Axial slice. Brain. Slice 55 of 155.
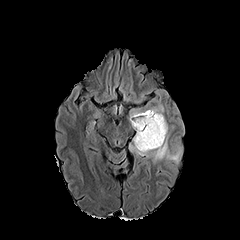
FLAIR magnetic resonance.
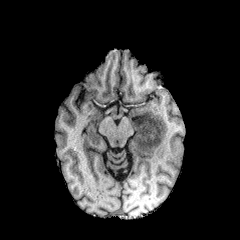
Same slice, T1-weighted MRI.
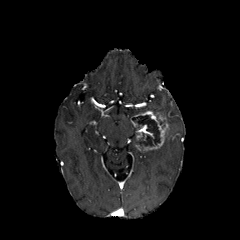
Post-contrast T1-weighted MR.
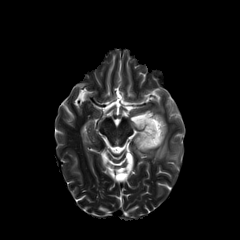
T2-weighted MR.
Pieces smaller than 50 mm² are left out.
Segmented structures:
* necrotic tumor core: l=132, t=115, r=160, b=149
* peritumoral edema: l=131, t=130, r=180, b=162; l=149, t=106, r=163, b=115
* enhancing tumor: l=133, t=111, r=167, b=151; l=136, t=125, r=154, b=140